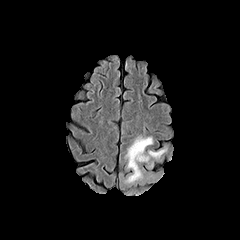
FLAIR magnetic resonance.
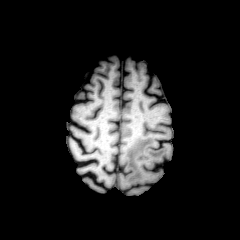
T1-weighted MRI.
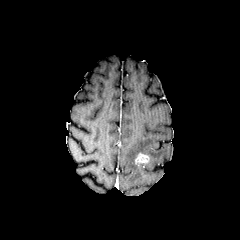
Same slice, post-contrast T1-weighted magnetic resonance.
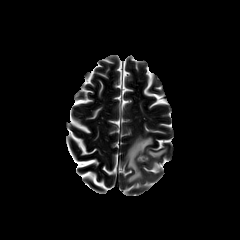
Same slice, T2-weighted magnetic resonance.
240x240, Axial view, Brain
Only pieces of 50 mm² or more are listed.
enhancing tumor at bbox(135, 153, 149, 165)
peritumoral edema at bbox(125, 135, 153, 183); bbox(147, 144, 168, 159)